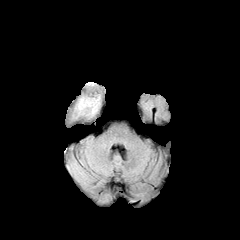
FLAIR MR image.
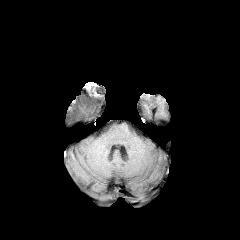
T1-weighted MR of the same slice.
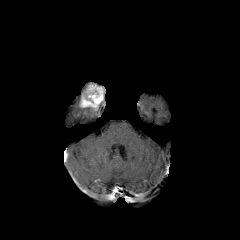
Same slice, post-contrast T1-weighted MRI.
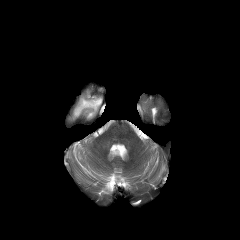
T2-weighted MR image.
Axial slice, Head
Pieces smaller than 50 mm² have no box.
The largest enhancing tumor region appears at [76, 84, 104, 116]. The largest peritumoral edema region is at [72, 106, 92, 119].